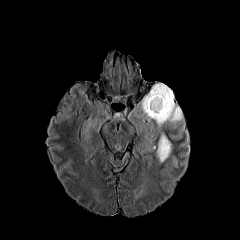
FLAIR MR image.
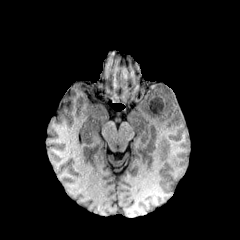
T1-weighted MRI.
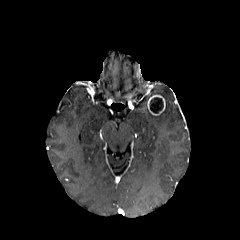
Same slice, post-contrast T1-weighted magnetic resonance.
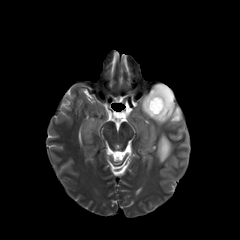
T2-weighted MR.
Findings:
* necrotic tumor core: <box>150,97,163,113</box>
* enhancing tumor: <box>147,94,165,115</box>
* peritumoral edema: <box>141,84,182,126</box>, <box>156,133,171,162</box>